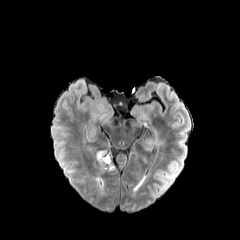
FLAIR MRI.
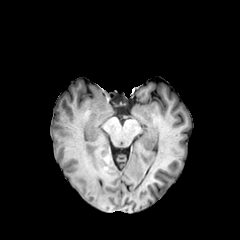
T1-weighted magnetic resonance.
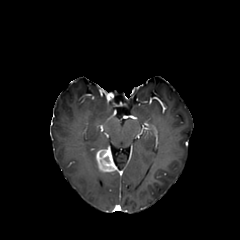
Post-contrast T1-weighted magnetic resonance.
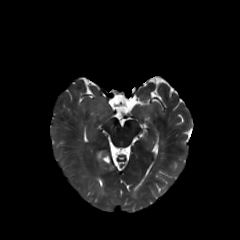
Same slice, T2-weighted MR image.
Brain; Axial view; Image size 240x240
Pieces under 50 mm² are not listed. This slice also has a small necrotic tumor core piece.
The largest peritumoral edema region is bounded by 96 176 103 190. The enhancing tumor is bounded by 96 149 116 172.